Axial plane; Head; Slice 48 of 155
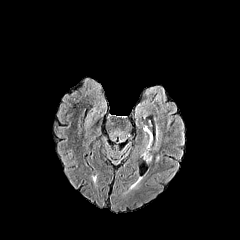
FLAIR magnetic resonance.
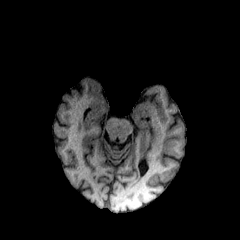
T1-weighted MR.
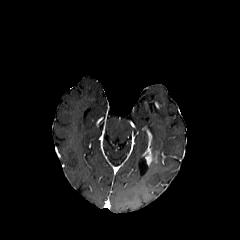
Post-contrast T1-weighted MR.
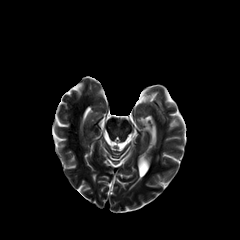
T2-weighted MR of the same slice.
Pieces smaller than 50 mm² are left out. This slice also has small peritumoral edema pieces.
Findings:
• enhancing tumor: 145,151,153,164